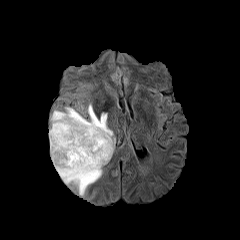
FLAIR MR image.
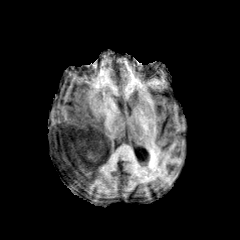
T1-weighted magnetic resonance of the same slice.
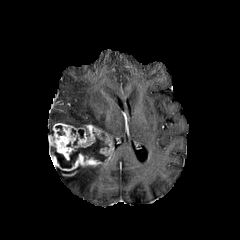
Post-contrast T1-weighted MR image.
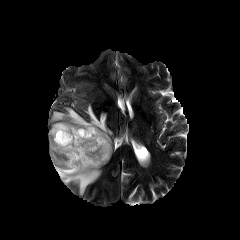
T2-weighted MR.
Brain.
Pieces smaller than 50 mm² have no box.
peritumoral edema at <bbox>56, 165, 102, 195</bbox>, <bbox>49, 104, 114, 144</bbox>
enhancing tumor at <bbox>48, 123, 114, 170</bbox>
necrotic tumor core at <bbox>51, 136, 108, 168</bbox>